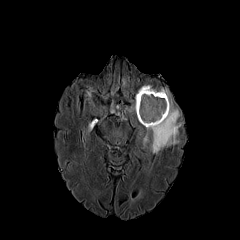
FLAIR magnetic resonance.
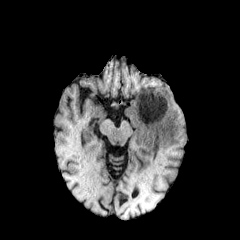
Same slice, T1-weighted MR.
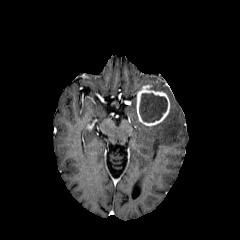
Post-contrast T1-weighted MR.
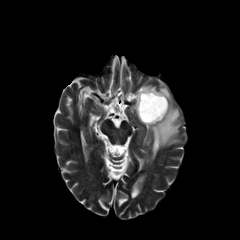
T2-weighted magnetic resonance.
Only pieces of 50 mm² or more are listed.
Findings:
• peritumoral edema: 143 87 182 153
• necrotic tumor core: 139 93 167 122
• enhancing tumor: 136 85 169 126